Image size 240x240. Slice 44 of 155. Head.
FLAIR magnetic resonance.
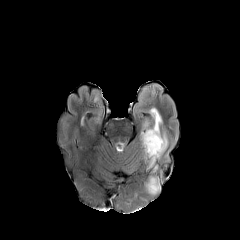
T1-weighted MR image.
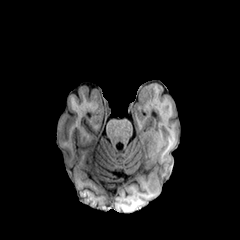
Post-contrast T1-weighted MR.
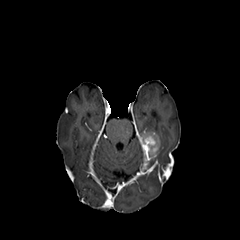
T2-weighted MR.
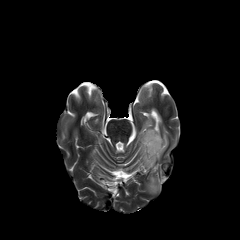
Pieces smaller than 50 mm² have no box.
enhancing tumor — x1=141, y1=132, x2=159, y2=158
peritumoral edema — x1=148, y1=178, x2=159, y2=193; x1=146, y1=111, x2=166, y2=156